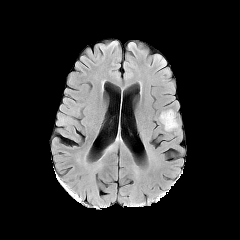
FLAIR magnetic resonance.
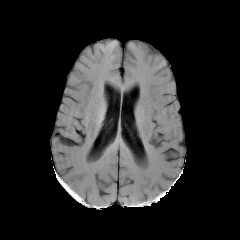
T1-weighted MR image of the same slice.
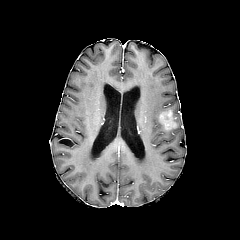
Post-contrast T1-weighted MR.
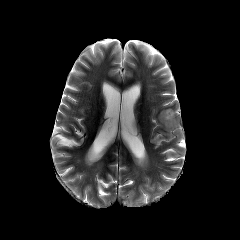
T2-weighted magnetic resonance.
240x240 | Brain
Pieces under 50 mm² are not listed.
Findings:
- peritumoral edema: [165, 118, 181, 134]
- enhancing tumor: [159, 110, 177, 129]